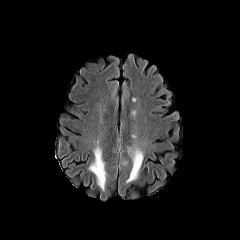
FLAIR MR.
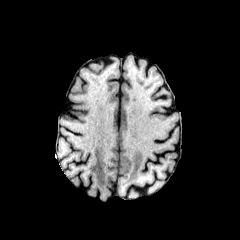
Same slice, T1-weighted MR.
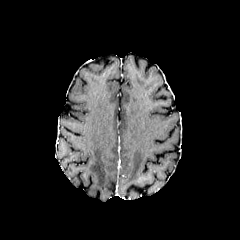
Post-contrast T1-weighted magnetic resonance.
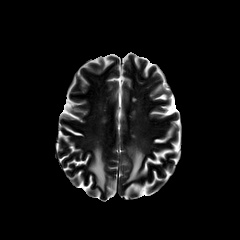
T2-weighted MR of the same slice.
240x240 px; Head
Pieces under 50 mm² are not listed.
The 2 largest peritumoral edema regions are bounded by <box>89,145,106,190</box>, <box>126,146,143,182</box>.